FLAIR MR image.
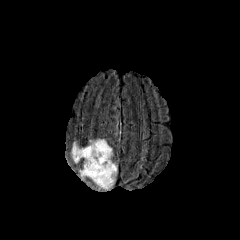
T1-weighted MR image.
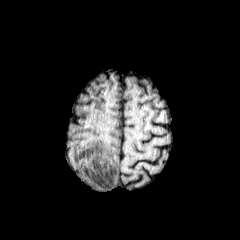
Post-contrast T1-weighted magnetic resonance.
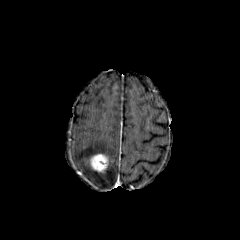
T2-weighted magnetic resonance.
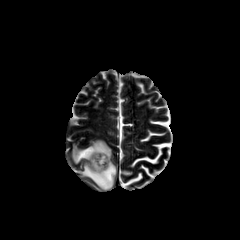
Head, Image size 240x240
enhancing tumor: bbox(89, 153, 108, 172) | peritumoral edema: bbox(72, 139, 117, 189)